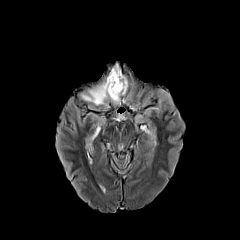
FLAIR MR.
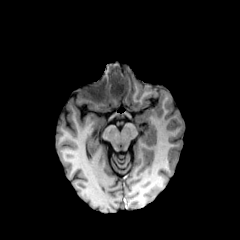
Same slice, T1-weighted MRI.
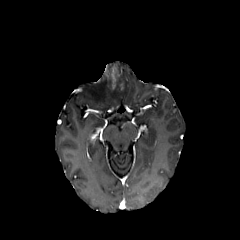
Post-contrast T1-weighted MR.
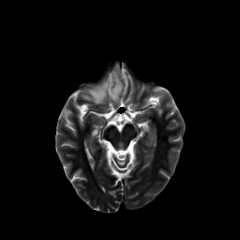
T2-weighted MR image.
Axial slice. Brain.
The enhancing tumor is at (left=109, top=66, right=123, bottom=89). The peritumoral edema is located at (left=81, top=63, right=127, bottom=105).